240x240; Slice index 75
FLAIR magnetic resonance.
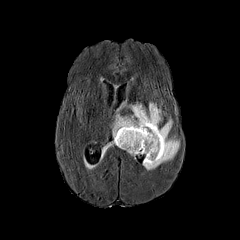
T1-weighted magnetic resonance.
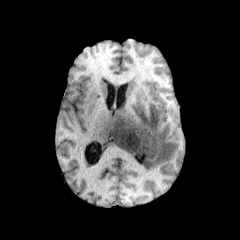
Post-contrast T1-weighted magnetic resonance.
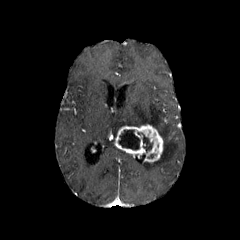
T2-weighted MR image.
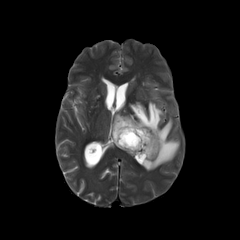
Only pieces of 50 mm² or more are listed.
- enhancing tumor: <box>114,124,163,163</box>
- necrotic tumor core: <box>137,132,152,152</box>, <box>118,130,140,149</box>
- peritumoral edema: <box>105,102,179,170</box>